FLAIR MR image.
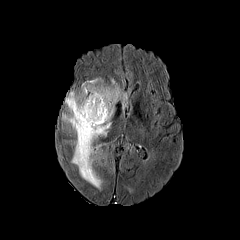
T1-weighted magnetic resonance.
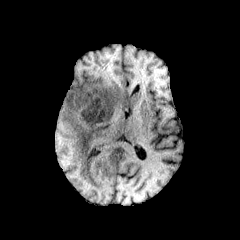
Post-contrast T1-weighted magnetic resonance.
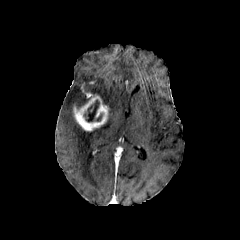
T2-weighted magnetic resonance.
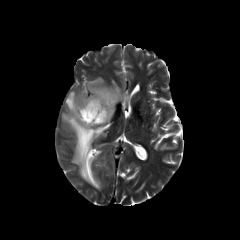
Image size 240x240.
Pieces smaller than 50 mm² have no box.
<segmentation>
  <necrotic_tumor_core>(x1=84, y1=100, x2=99, y2=121)</necrotic_tumor_core>
  <peritumoral_edema>(x1=62, y1=78, x2=127, y2=189)</peritumoral_edema>
  <enhancing_tumor>(x1=73, y1=94, x2=109, y2=131)</enhancing_tumor>
</segmentation>